FLAIR magnetic resonance.
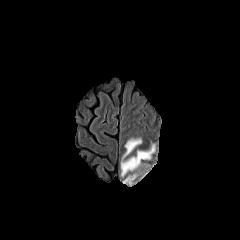
T1-weighted magnetic resonance.
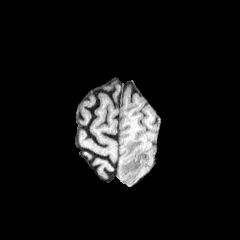
Post-contrast T1-weighted magnetic resonance.
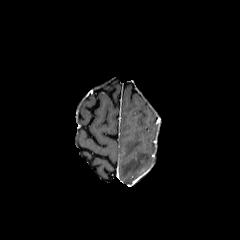
T2-weighted MRI.
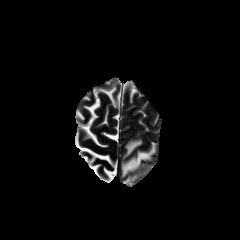
Axial view
peritumoral edema: box(124, 173, 137, 184); box(121, 139, 154, 176)